Brain, Slice index 72, 240x240
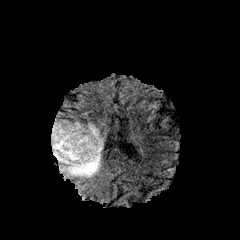
FLAIR MR image.
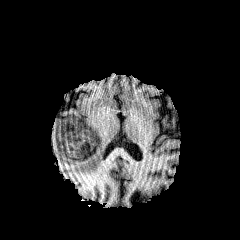
T1-weighted MR of the same slice.
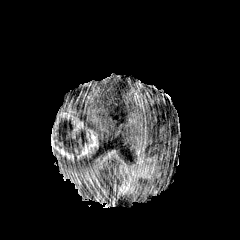
Same slice, post-contrast T1-weighted magnetic resonance.
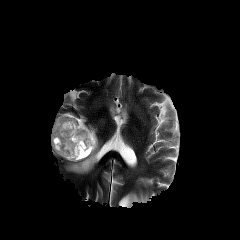
T2-weighted MRI.
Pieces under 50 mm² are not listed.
peritumoral edema: 52 123 103 177 | necrotic tumor core: 56 121 81 160 | enhancing tumor: 51 112 98 161